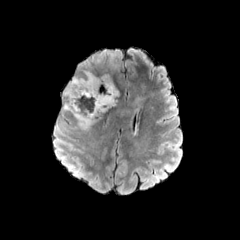
FLAIR MR image.
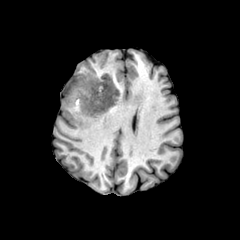
T1-weighted MR.
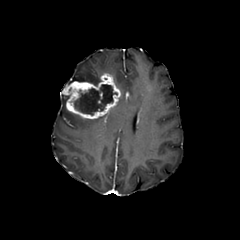
Post-contrast T1-weighted MR of the same slice.
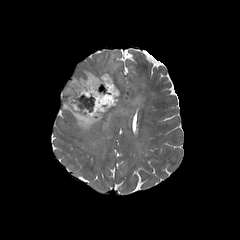
T2-weighted MR.
Axial plane, Brain, 240x240
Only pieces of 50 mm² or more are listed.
The largest enhancing tumor region appears at bbox=[62, 73, 120, 119]. The necrotic tumor core lies within bbox=[73, 84, 117, 115]. The 4 largest peritumoral edema regions are located at bbox=[132, 95, 143, 106]; bbox=[109, 53, 117, 69]; bbox=[62, 94, 102, 130]; bbox=[69, 69, 100, 82].